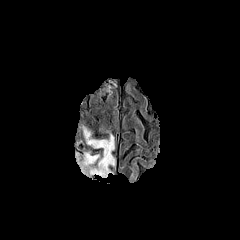
FLAIR magnetic resonance.
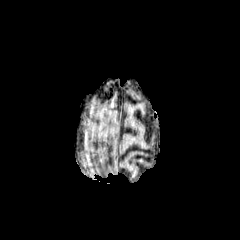
T1-weighted MRI of the same slice.
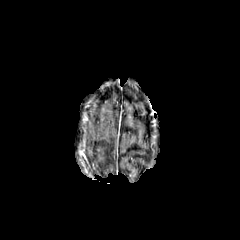
Post-contrast T1-weighted MRI.
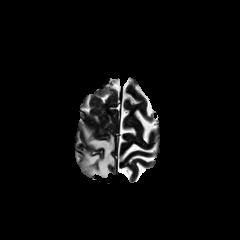
T2-weighted MR.
peritumoral edema — box(78, 128, 114, 177)